Image size 240x240, Axial view, Slice index 50, Head
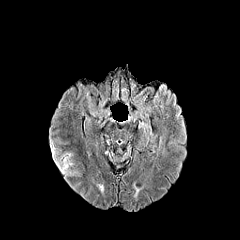
FLAIR magnetic resonance.
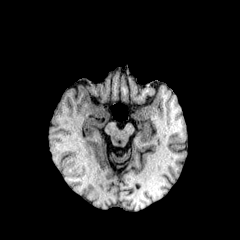
T1-weighted MR image of the same slice.
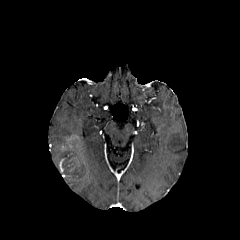
Post-contrast T1-weighted magnetic resonance.
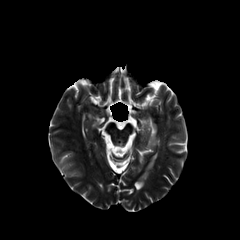
T2-weighted magnetic resonance.
peritumoral edema at x1=52, y1=146, x2=59, y2=165; x1=63, y1=158, x2=76, y2=175